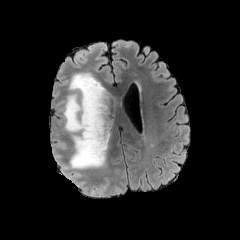
FLAIR MR.
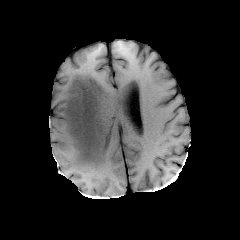
T1-weighted MR image of the same slice.
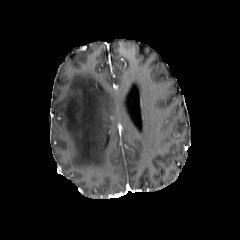
Post-contrast T1-weighted MR of the same slice.
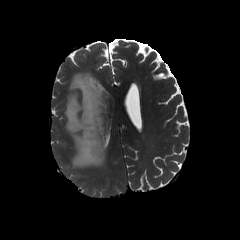
T2-weighted MR.
Axial slice, Brain, 240x240
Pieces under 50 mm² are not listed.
peritumoral edema: bounding box 64, 72, 114, 168